Image width 240 mm, 1.00 mm slice spacing; Brain; 240x240
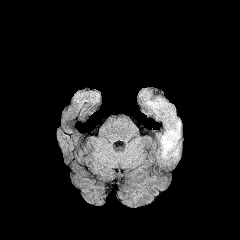
FLAIR magnetic resonance.
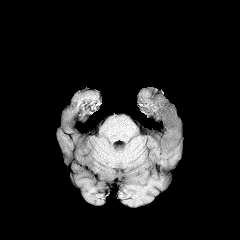
T1-weighted MR image.
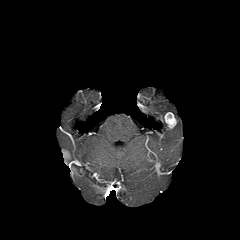
Post-contrast T1-weighted MR.
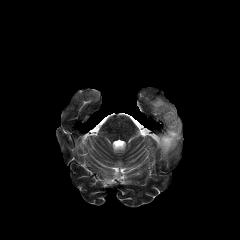
Same slice, T2-weighted magnetic resonance.
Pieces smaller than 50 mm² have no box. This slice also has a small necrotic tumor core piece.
peritumoral edema: region(147, 98, 174, 115); region(160, 119, 181, 158) | enhancing tumor: region(164, 112, 177, 129)